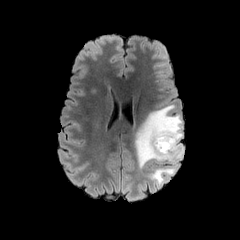
FLAIR magnetic resonance.
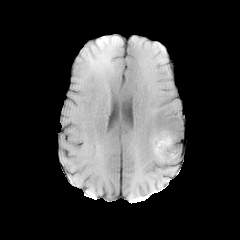
T1-weighted MRI of the same slice.
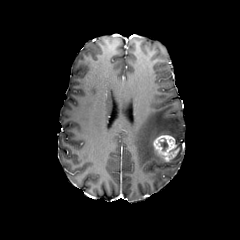
Post-contrast T1-weighted magnetic resonance of the same slice.
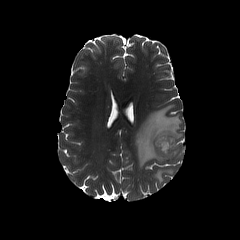
T2-weighted MR.
240x240 px; Head; Axial view
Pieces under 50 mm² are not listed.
The largest necrotic tumor core region is located at [160,139,167,150]. The peritumoral edema lies within [134,104,183,185]. The enhancing tumor lies within [153,134,179,161].